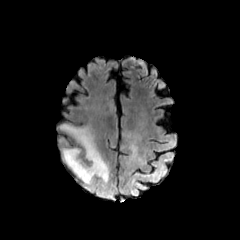
FLAIR magnetic resonance.
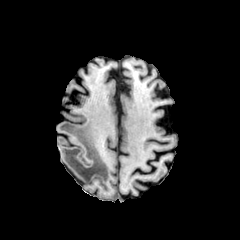
T1-weighted magnetic resonance.
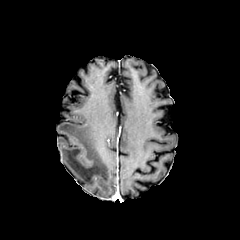
Same slice, post-contrast T1-weighted MRI.
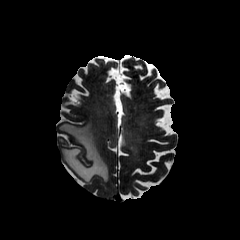
T2-weighted magnetic resonance.
Axial plane
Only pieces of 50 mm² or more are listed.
peritumoral edema: 59 123 108 184